FLAIR MR.
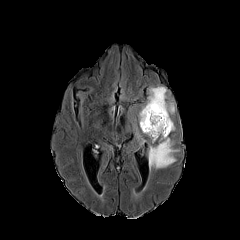
T1-weighted MRI.
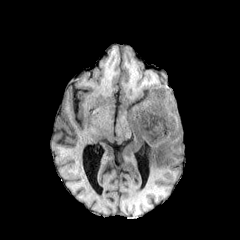
Post-contrast T1-weighted magnetic resonance.
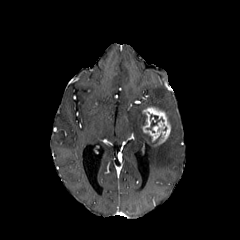
T2-weighted magnetic resonance.
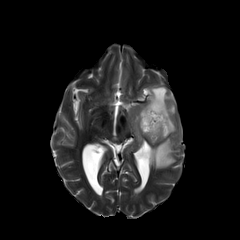
Brain
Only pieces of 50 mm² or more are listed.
The enhancing tumor lies within (left=140, top=106, right=170, bottom=144). The peritumoral edema lies within (left=135, top=86, right=179, bottom=169). The largest necrotic tumor core region is bounded by (left=146, top=114, right=163, bottom=130).